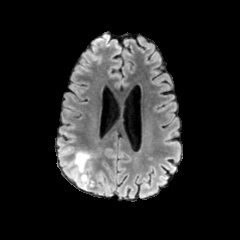
FLAIR MR.
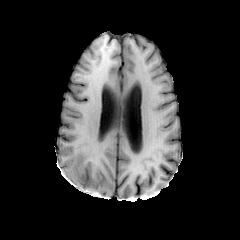
T1-weighted MRI.
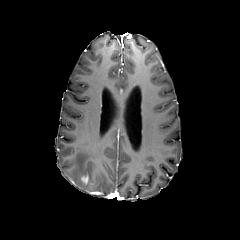
Post-contrast T1-weighted MR of the same slice.
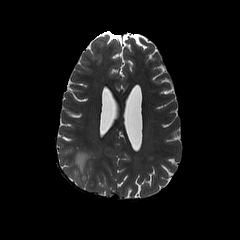
T2-weighted MRI of the same slice.
Brain.
The enhancing tumor is bounded by box(81, 175, 88, 184). The peritumoral edema is located at box(69, 150, 93, 189).